240x240, Axial slice
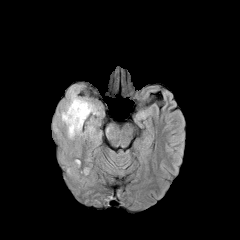
FLAIR MR.
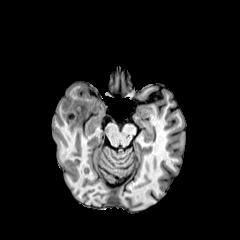
T1-weighted magnetic resonance of the same slice.
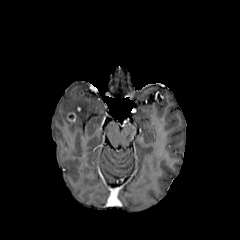
Post-contrast T1-weighted MR.
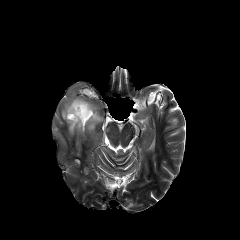
T2-weighted MR.
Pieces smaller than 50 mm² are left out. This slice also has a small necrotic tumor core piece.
peritumoral_edema:
  - [61,89,99,138]
  - [87,117,94,133]
enhancing_tumor:
  - [67,112,76,122]